FLAIR magnetic resonance.
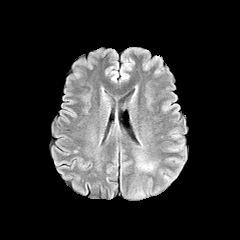
T1-weighted MRI.
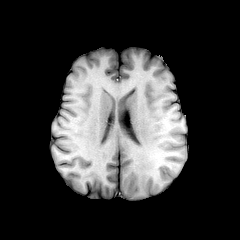
Post-contrast T1-weighted MR image.
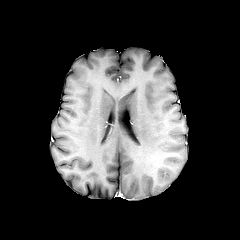
T2-weighted magnetic resonance.
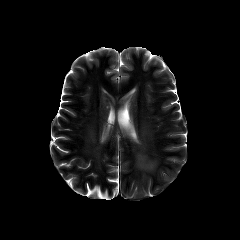
Axial plane, Brain
<segmentation>
  <peritumoral_edema>{"x1": 139, "y1": 162, "x2": 153, "y2": 169}</peritumoral_edema>
</segmentation>